Slice index 112.
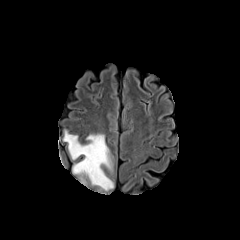
FLAIR MRI.
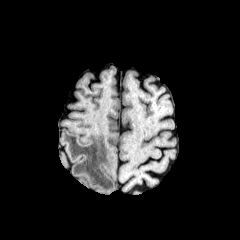
T1-weighted MRI of the same slice.
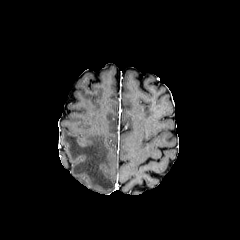
Post-contrast T1-weighted MR.
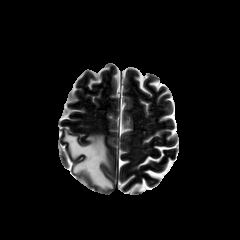
T2-weighted MR of the same slice.
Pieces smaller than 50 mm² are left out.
<segmentation>
  <peritumoral_edema>bbox=[63, 131, 113, 190]</peritumoral_edema>
</segmentation>